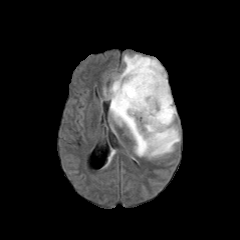
FLAIR MR image.
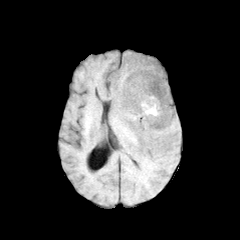
T1-weighted MR.
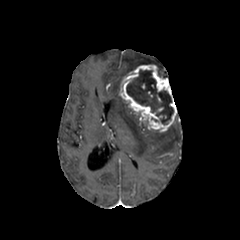
Post-contrast T1-weighted MRI of the same slice.
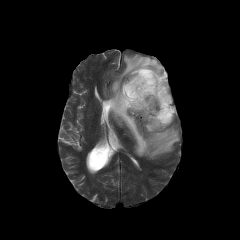
T2-weighted MR.
Axial plane | Brain
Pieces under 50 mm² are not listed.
necrotic tumor core: box=[126, 70, 173, 124] | peritumoral edema: box=[104, 54, 179, 158] | enhancing tumor: box=[119, 64, 176, 132]